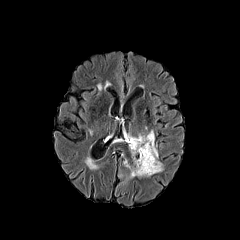
FLAIR MR.
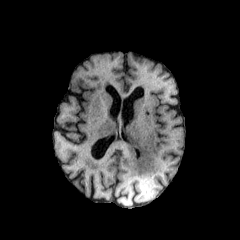
T1-weighted magnetic resonance.
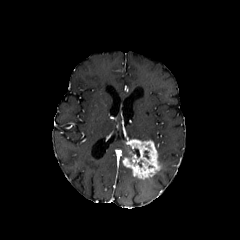
Post-contrast T1-weighted MR.
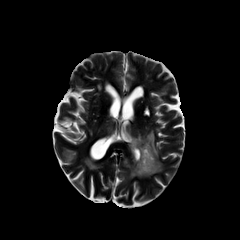
Same slice, T2-weighted MR image.
Head
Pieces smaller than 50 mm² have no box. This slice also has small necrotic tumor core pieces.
{"peritumoral_edema": ["box=[128, 130, 154, 142]"], "enhancing_tumor": ["box=[122, 139, 161, 178]"]}